FLAIR MR.
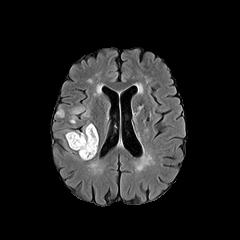
T1-weighted magnetic resonance.
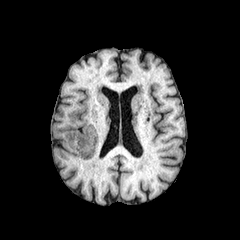
Post-contrast T1-weighted MR image.
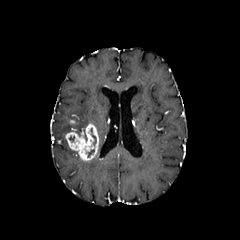
T2-weighted MR image.
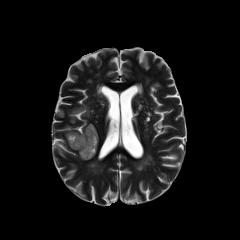
Head.
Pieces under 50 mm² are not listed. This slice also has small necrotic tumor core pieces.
<segmentation>
  <enhancing_tumor>region(65, 123, 98, 160)</enhancing_tumor>
  <peritumoral_edema>region(72, 107, 84, 114)</peritumoral_edema>
</segmentation>